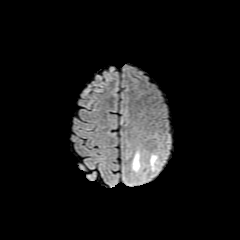
FLAIR MR.
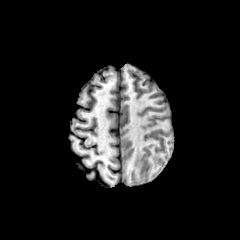
T1-weighted MRI.
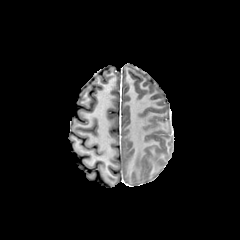
Same slice, post-contrast T1-weighted MR.
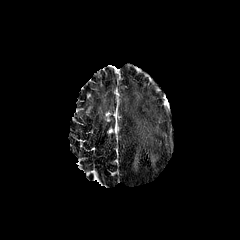
T2-weighted MR.
Axial view, Head
2 peritumoral edema regions are located at {"x1": 150, "y1": 154, "x2": 157, "y2": 170}, {"x1": 132, "y1": 150, "x2": 140, "y2": 171}.